Axial slice | Image size 240x240
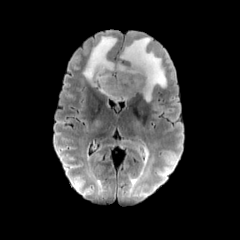
FLAIR MR.
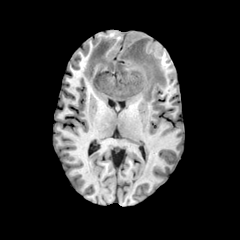
T1-weighted MRI.
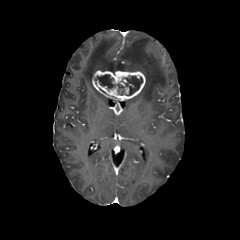
Post-contrast T1-weighted MR.
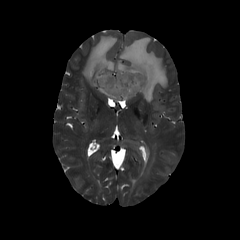
Same slice, T2-weighted MR.
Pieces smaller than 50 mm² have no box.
necrotic_tumor_core:
  - 95:74:115:89
  - 125:76:142:95
peritumoral_edema:
  - 129:147:154:196
  - 83:36:174:119
enhancing_tumor:
  - 92:70:145:100